Image width 240 mm, 1.00 mm slice spacing; Brain; Slice 130/155
FLAIR MR.
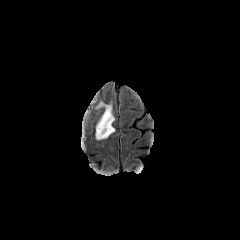
T1-weighted MR image.
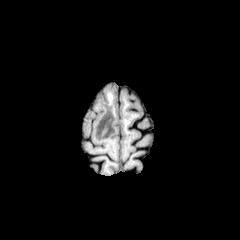
Post-contrast T1-weighted MR.
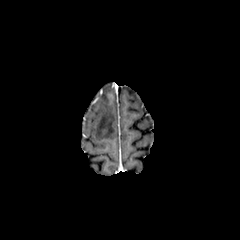
T2-weighted MR image.
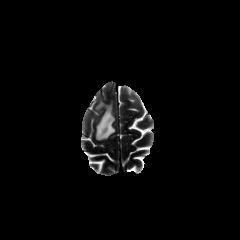
Findings:
• peritumoral edema: bbox(96, 102, 115, 140)